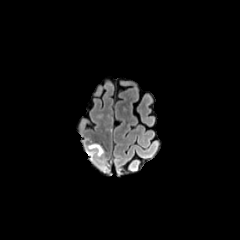
FLAIR magnetic resonance.
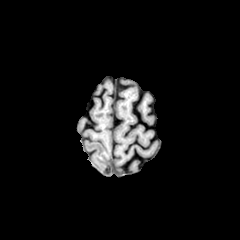
T1-weighted MRI.
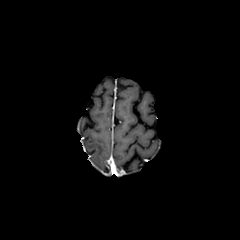
Same slice, post-contrast T1-weighted magnetic resonance.
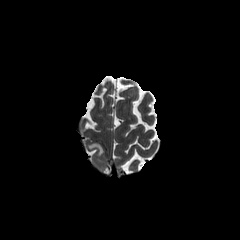
T2-weighted MRI.
Brain, Axial plane
Segmented structures:
- peritumoral edema: box(88, 144, 103, 155)